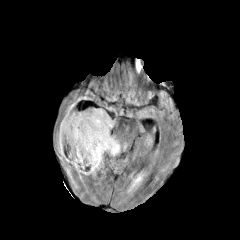
FLAIR MR image.
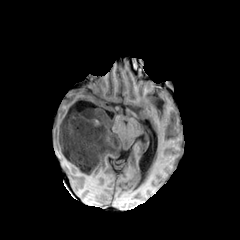
T1-weighted MR of the same slice.
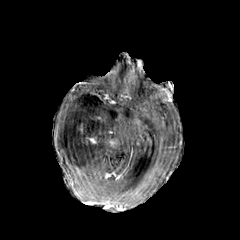
Post-contrast T1-weighted MRI.
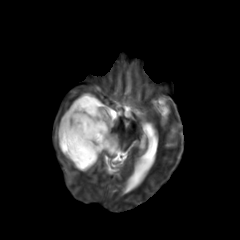
T2-weighted MRI.
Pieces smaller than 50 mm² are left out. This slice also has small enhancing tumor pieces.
Findings:
• necrotic tumor core: <bbox>58, 114, 99, 168</bbox>
• peritumoral edema: <bbox>66, 156, 77, 169</bbox>, <bbox>68, 133, 79, 151</bbox>, <bbox>57, 140, 63, 155</bbox>, <bbox>60, 91, 120, 175</bbox>